FLAIR MRI.
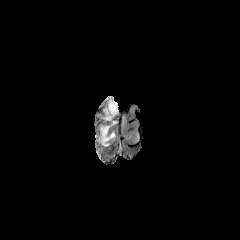
T1-weighted MR.
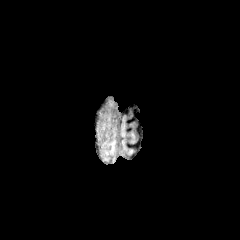
Post-contrast T1-weighted MR.
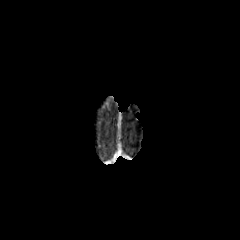
T2-weighted magnetic resonance.
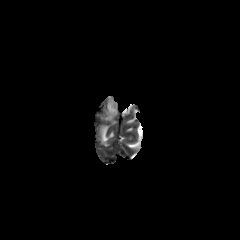
Axial plane. Head.
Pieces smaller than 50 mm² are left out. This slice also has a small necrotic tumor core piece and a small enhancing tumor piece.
Annotated regions:
• peritumoral edema: <box>102,126,114,146</box>